Head; Image width 240 mm
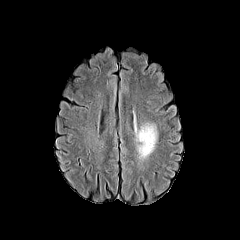
FLAIR MR.
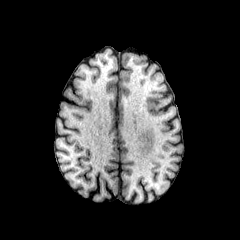
T1-weighted magnetic resonance.
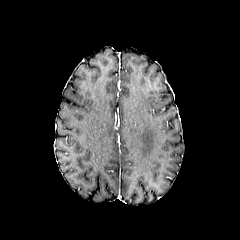
Post-contrast T1-weighted MRI.
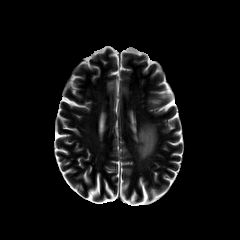
T2-weighted MR.
peritumoral_edema:
  - (left=137, top=124, right=156, bottom=159)